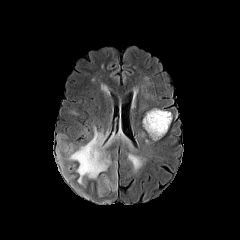
FLAIR magnetic resonance.
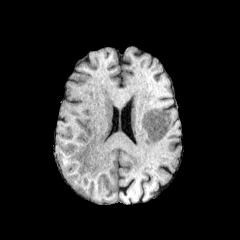
T1-weighted MR image of the same slice.
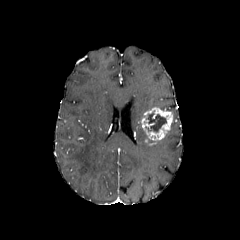
Post-contrast T1-weighted MR.
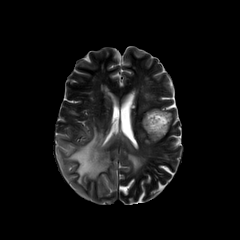
Same slice, T2-weighted MR image.
Head. Image size 240x240.
Findings:
• peritumoral edema: 57 126 131 196, 128 154 144 171, 98 176 116 197
• necrotic tumor core: 147 113 166 131
• enhancing tumor: 141 107 172 144